FLAIR MRI.
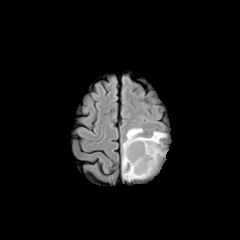
T1-weighted MR image.
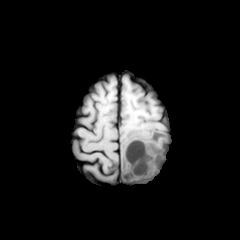
Post-contrast T1-weighted MR image.
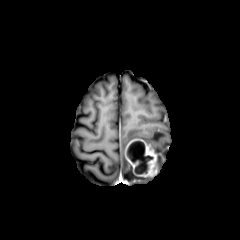
T2-weighted magnetic resonance.
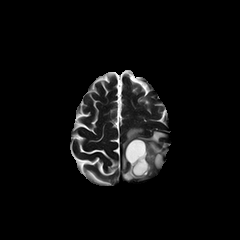
Head
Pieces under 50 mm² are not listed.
necrotic tumor core — [x1=126, y1=141, x2=153, y2=163], [x1=135, y1=164, x2=148, y2=173]
peritumoral edema — [x1=122, y1=128, x2=166, y2=181]
enhancing tumor — [x1=125, y1=139, x2=165, y2=176]